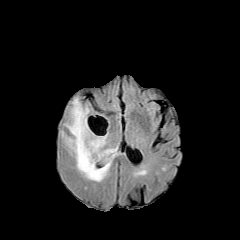
FLAIR MR image.
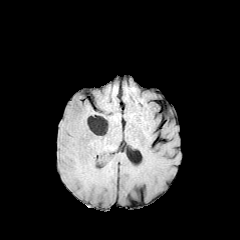
Same slice, T1-weighted MR.
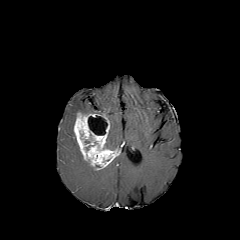
Post-contrast T1-weighted MR image.
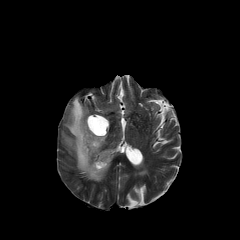
T2-weighted MR of the same slice.
240x240. Axial slice.
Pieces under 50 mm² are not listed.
• necrotic tumor core: 88, 115, 107, 135
• enhancing tumor: 73, 112, 119, 170
• peritumoral edema: 105, 137, 118, 149; 61, 97, 111, 181